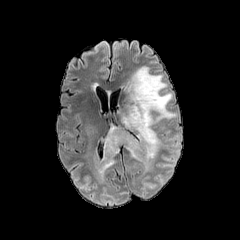
FLAIR magnetic resonance.
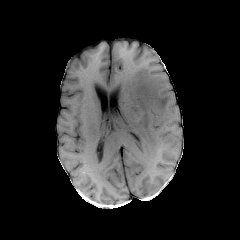
T1-weighted magnetic resonance.
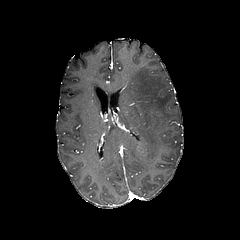
Post-contrast T1-weighted magnetic resonance of the same slice.
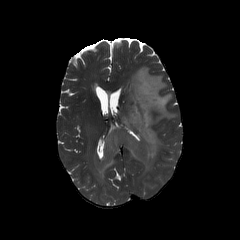
Same slice, T2-weighted magnetic resonance.
Brain, 240x240
<segmentation>
  <peritumoral_edema><bbox>97, 66, 176, 179</bbox></peritumoral_edema>
</segmentation>